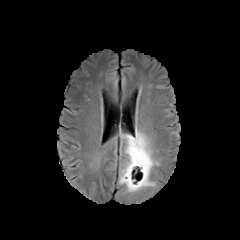
FLAIR MRI.
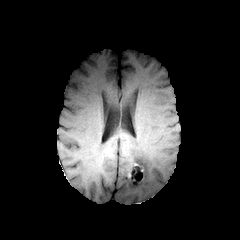
Same slice, T1-weighted MR image.
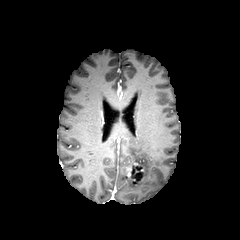
Same slice, post-contrast T1-weighted MR.
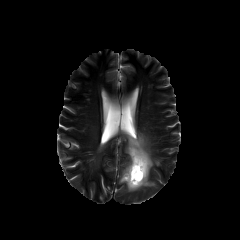
T2-weighted MRI.
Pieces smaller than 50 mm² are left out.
enhancing_tumor:
  - x1=124, y1=167, x2=144, y2=184
peritumoral_edema:
  - x1=119, y1=128, x2=159, y2=192
necrotic_tumor_core:
  - x1=133, y1=171, x2=142, y2=180